Brain. Slice 118/155. Image covers 240 mm x 240 mm.
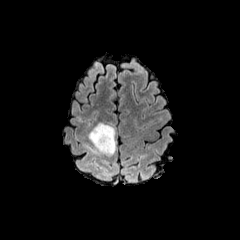
FLAIR MR.
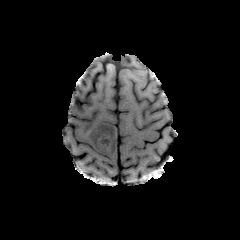
Same slice, T1-weighted MRI.
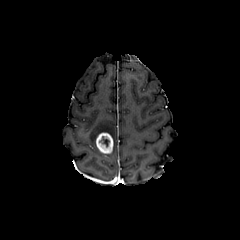
Post-contrast T1-weighted magnetic resonance.
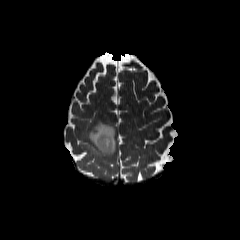
T2-weighted MR.
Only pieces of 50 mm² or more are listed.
necrotic_tumor_core:
  - l=99, t=136, r=109, b=146
peritumoral_edema:
  - l=84, t=122, r=116, b=156
enhancing_tumor:
  - l=95, t=132, r=113, b=153